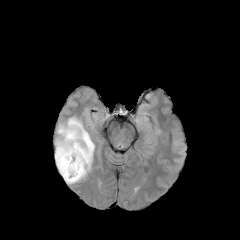
FLAIR MR.
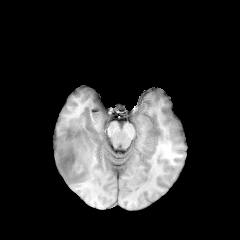
Same slice, T1-weighted MR.
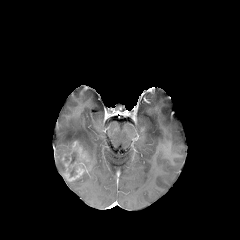
Post-contrast T1-weighted magnetic resonance of the same slice.
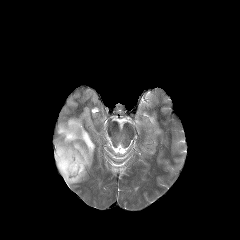
T2-weighted MR.
Brain
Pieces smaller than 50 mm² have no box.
The 2 largest peritumoral edema regions appear at (left=66, top=172, right=87, bottom=184), (left=55, top=117, right=94, bottom=174). The largest necrotic tumor core region is located at (left=70, top=152, right=77, bottom=163). The enhancing tumor is located at (left=61, top=141, right=89, bottom=181).